Slice 56/155; Brain
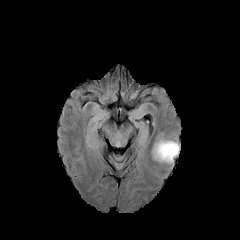
FLAIR MR.
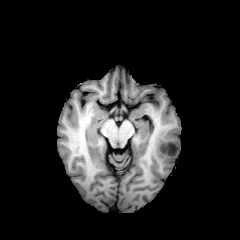
T1-weighted MR image of the same slice.
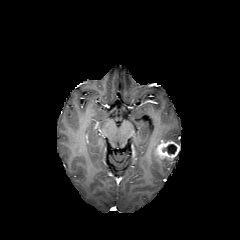
Same slice, post-contrast T1-weighted magnetic resonance.
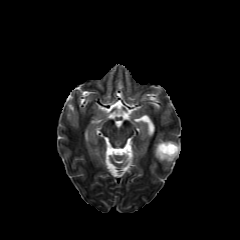
T2-weighted MR image of the same slice.
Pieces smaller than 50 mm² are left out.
peritumoral_edema:
  - box(153, 139, 173, 162)
enhancing_tumor:
  - box(155, 140, 180, 160)
necrotic_tumor_core:
  - box(163, 144, 176, 154)